Image covers 240 mm x 240 mm. Slice 60 of 155.
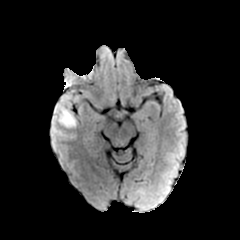
FLAIR MR.
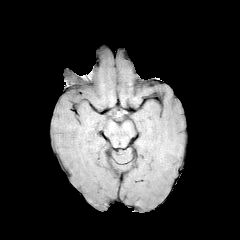
T1-weighted MR of the same slice.
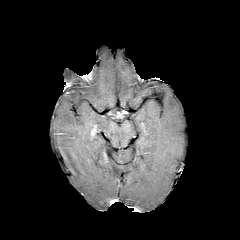
Post-contrast T1-weighted magnetic resonance.
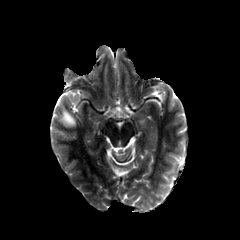
T2-weighted magnetic resonance of the same slice.
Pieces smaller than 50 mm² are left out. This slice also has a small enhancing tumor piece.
peritumoral edema at box(56, 105, 76, 127)